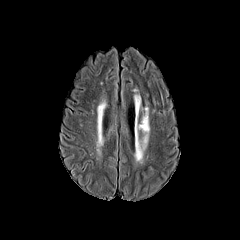
FLAIR MRI.
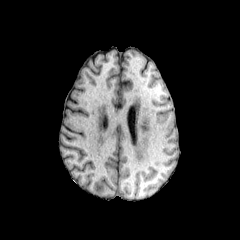
Same slice, T1-weighted MR.
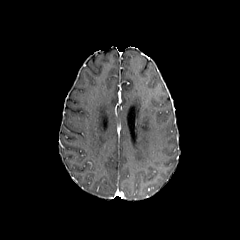
Post-contrast T1-weighted magnetic resonance of the same slice.
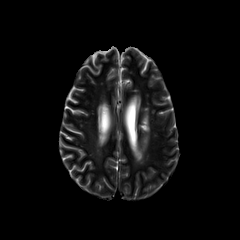
T2-weighted magnetic resonance.
240x240 px
Annotated regions:
* peritumoral edema: x1=139 y1=107 x2=149 y2=150